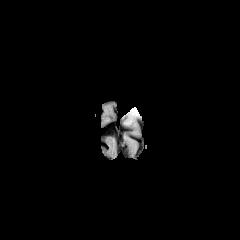
FLAIR MRI.
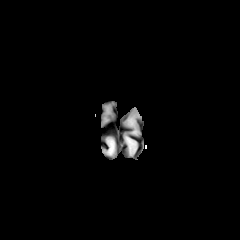
T1-weighted MR.
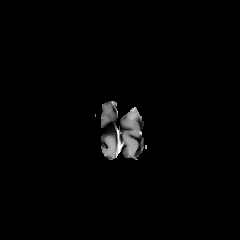
Post-contrast T1-weighted magnetic resonance of the same slice.
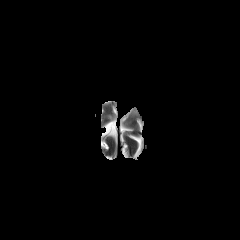
Same slice, T2-weighted MR image.
Axial plane. Brain.
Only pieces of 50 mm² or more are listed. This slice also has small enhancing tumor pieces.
peritumoral edema at region(124, 107, 139, 124)